Slice 31 of 155. 240x240. Axial view.
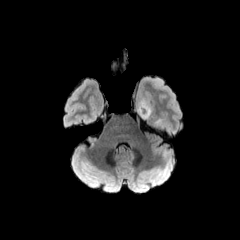
FLAIR MR.
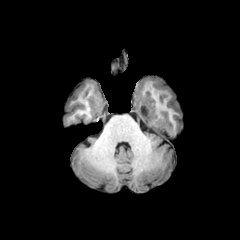
Same slice, T1-weighted MR.
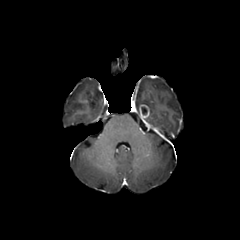
Same slice, post-contrast T1-weighted MR.
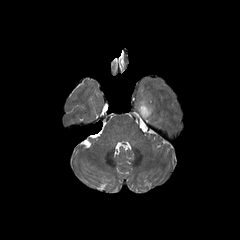
T2-weighted MRI of the same slice.
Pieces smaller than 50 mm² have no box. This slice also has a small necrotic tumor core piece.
2 peritumoral edema regions are bounded by 154,118,163,125; 137,97,153,121. The enhancing tumor is at 139,104,150,119.